FLAIR MR image.
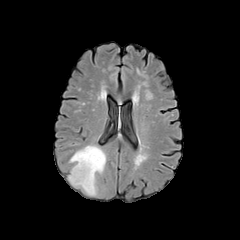
T1-weighted MR image.
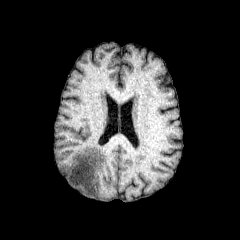
Post-contrast T1-weighted MR.
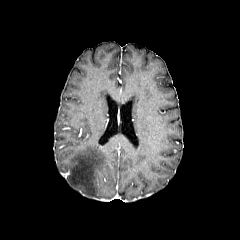
T2-weighted MRI.
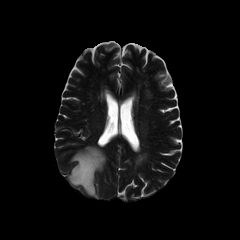
Axial slice
The peritumoral edema is bounded by 68:145:106:195.